Image size 240x240, Slice 69 of 155
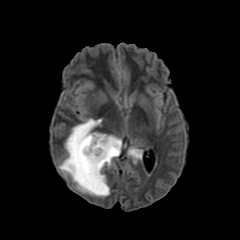
FLAIR MR image.
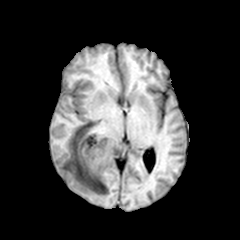
T1-weighted MRI of the same slice.
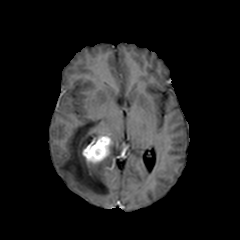
Post-contrast T1-weighted magnetic resonance.
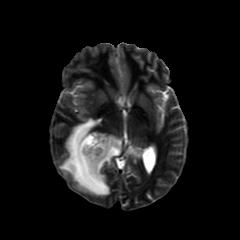
T2-weighted MR of the same slice.
peritumoral edema at box=[59, 118, 121, 196]; box=[128, 147, 142, 162]
enhancing tumor at box=[82, 135, 113, 164]